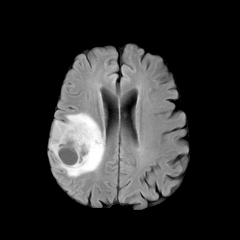
FLAIR MRI.
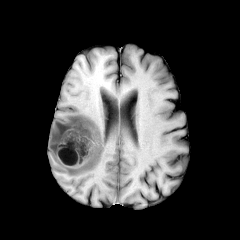
T1-weighted MR image.
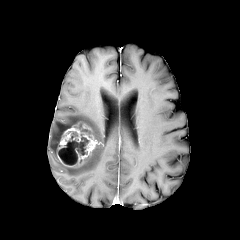
Post-contrast T1-weighted magnetic resonance of the same slice.
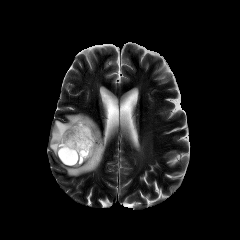
T2-weighted MR image.
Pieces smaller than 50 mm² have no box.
enhancing tumor: 56, 121, 99, 167 | peritumoral edema: 49, 113, 105, 177 | necrotic tumor core: 58, 132, 88, 165; 78, 124, 91, 136